Axial plane; Brain
FLAIR MRI.
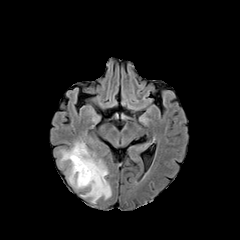
T1-weighted magnetic resonance.
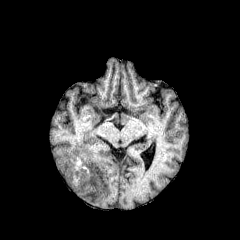
Post-contrast T1-weighted magnetic resonance.
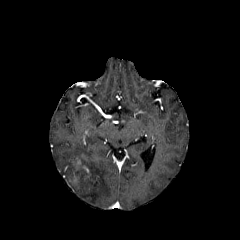
T2-weighted MRI.
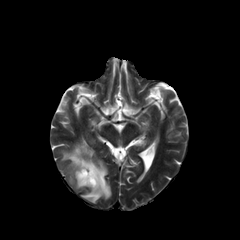
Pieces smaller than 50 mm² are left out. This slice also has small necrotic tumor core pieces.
{"peritumoral_edema": ["l=60, t=140, r=111, b=203"]}